Head.
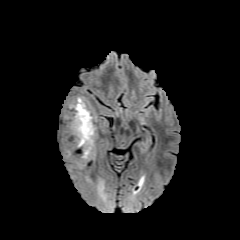
FLAIR magnetic resonance.
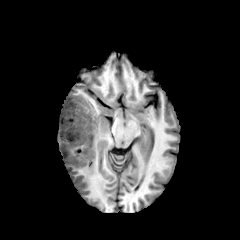
T1-weighted magnetic resonance of the same slice.
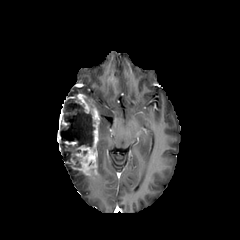
Post-contrast T1-weighted MR.
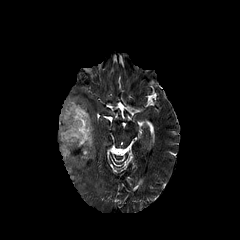
Same slice, T2-weighted MR image.
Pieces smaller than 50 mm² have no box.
- peritumoral edema: [98, 180, 103, 190]
- necrotic tumor core: [60, 99, 94, 159]
- enhancing tumor: [57, 94, 99, 177], [64, 141, 77, 147]